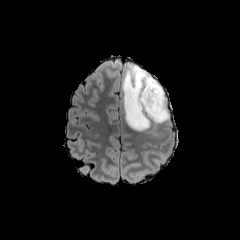
FLAIR MRI.
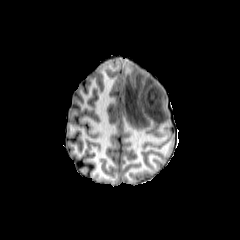
Same slice, T1-weighted MRI.
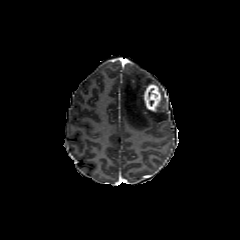
Post-contrast T1-weighted MRI.
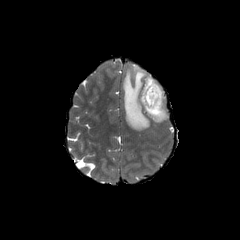
T2-weighted MRI of the same slice.
Axial view | Brain
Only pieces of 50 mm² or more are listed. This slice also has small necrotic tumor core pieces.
Annotated regions:
- enhancing tumor: (left=142, top=83, right=161, bottom=113)
- peritumoral edema: (left=121, top=64, right=169, bottom=130)